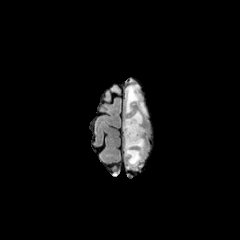
FLAIR MR image.
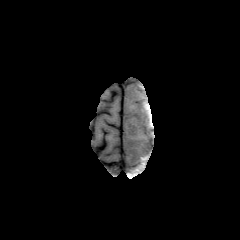
T1-weighted MRI.
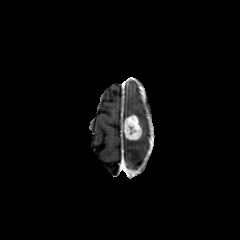
Post-contrast T1-weighted MR image of the same slice.
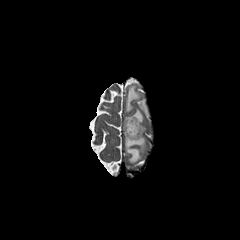
T2-weighted magnetic resonance.
Head.
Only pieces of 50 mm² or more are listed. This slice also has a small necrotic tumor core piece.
enhancing tumor: [124,115,141,140]
peritumoral edema: [125,135,146,165], [125,84,146,125]